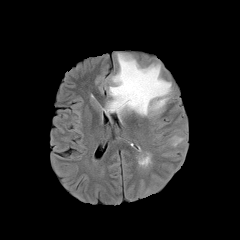
FLAIR MRI.
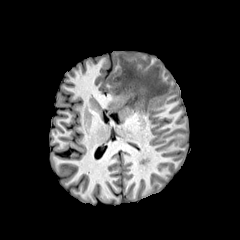
T1-weighted MR image.
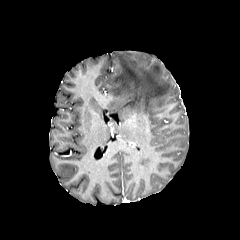
Post-contrast T1-weighted MR image.
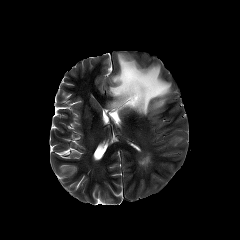
T2-weighted magnetic resonance.
Head
peritumoral edema: <box>166,135,184,147</box>, <box>107,53,171,115</box>